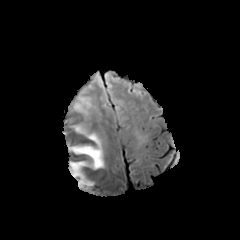
FLAIR MR.
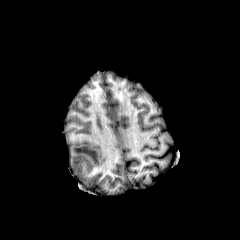
Same slice, T1-weighted MRI.
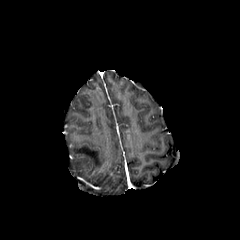
Post-contrast T1-weighted MR image of the same slice.
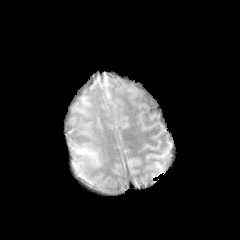
T2-weighted MRI of the same slice.
Axial slice; Image size 240x240
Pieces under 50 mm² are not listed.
The largest peritumoral edema region appears at box(69, 123, 103, 184).